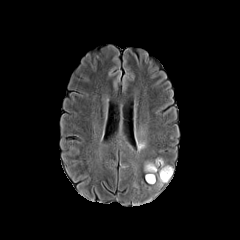
FLAIR magnetic resonance.
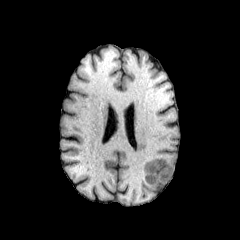
T1-weighted MRI.
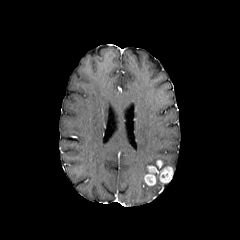
Post-contrast T1-weighted magnetic resonance.
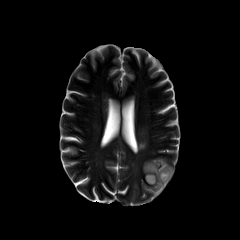
T2-weighted MR.
240x240. Brain. Axial view.
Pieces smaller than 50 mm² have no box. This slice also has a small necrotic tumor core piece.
peritumoral edema: bounding box x1=154, y1=173, x2=162, y2=187; x1=144, y1=158, x2=168, y2=173
enhancing tumor: bounding box x1=145, y1=165, x2=156, y2=185; x1=159, y1=166, x2=173, y2=183